FLAIR magnetic resonance.
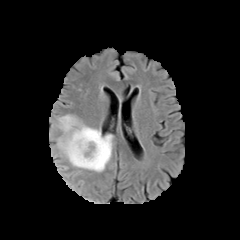
T1-weighted MRI.
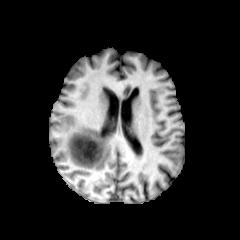
Post-contrast T1-weighted MR image.
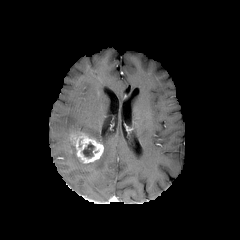
T2-weighted MRI.
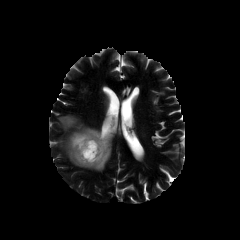
Head. Axial view.
The enhancing tumor is bounded by x1=70, y1=132, x2=103, y2=163. The necrotic tumor core is at x1=83, y1=143, x2=94, y2=157. The peritumoral edema is at x1=58, y1=115, x2=112, y2=171.